240x240 | Image width 240 mm, 1.00 mm slice spacing | Head | Slice index 64
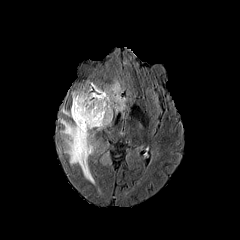
FLAIR magnetic resonance.
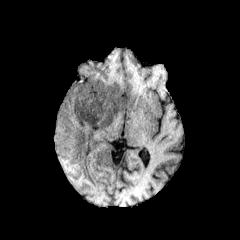
T1-weighted magnetic resonance of the same slice.
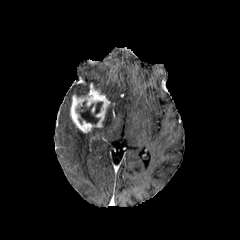
Post-contrast T1-weighted MRI of the same slice.
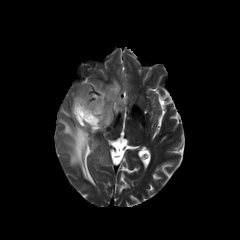
T2-weighted MR image of the same slice.
enhancing tumor = [70, 89, 110, 133]
peritumoral edema = [94, 80, 126, 130], [61, 107, 69, 116], [58, 118, 98, 185], [71, 81, 92, 96]
necrotic tumor core = [77, 101, 102, 124]